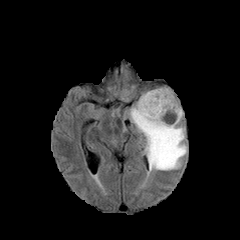
FLAIR magnetic resonance.
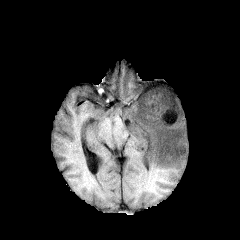
T1-weighted MR.
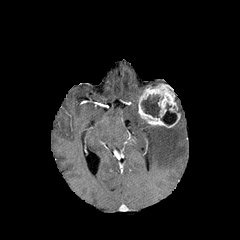
Post-contrast T1-weighted MR.
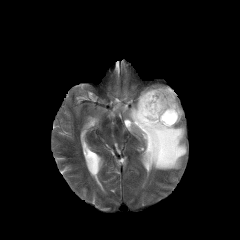
Same slice, T2-weighted magnetic resonance.
Brain | Axial slice
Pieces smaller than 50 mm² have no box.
<segmentation>
  <enhancing_tumor>x1=138 y1=84 x2=180 y2=127</enhancing_tumor>
  <peritumoral_edema>x1=128 y1=102 x2=187 y2=171</peritumoral_edema>
  <necrotic_tumor_core>x1=161 y1=104 x2=176 y2=125, x1=142 y1=95 x2=160 y2=117</necrotic_tumor_core>
</segmentation>